Head, Axial plane, Slice index 109
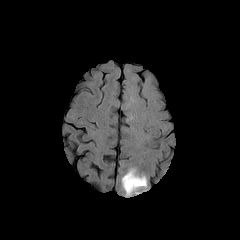
FLAIR MR image.
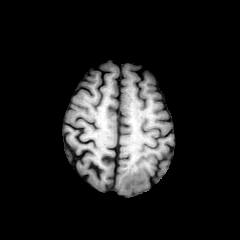
T1-weighted MR of the same slice.
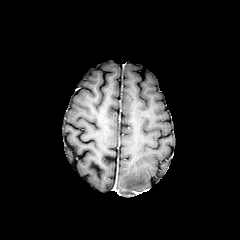
Same slice, post-contrast T1-weighted MR image.
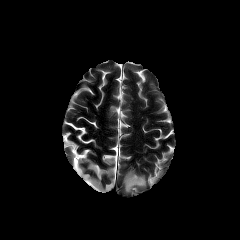
Same slice, T2-weighted MRI.
peritumoral edema at rect(122, 170, 146, 194)